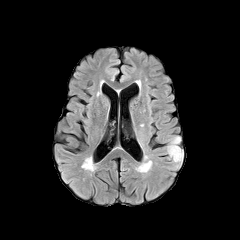
FLAIR MR.
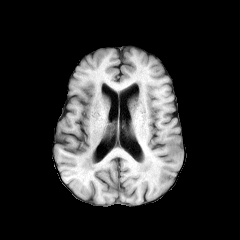
T1-weighted MR.
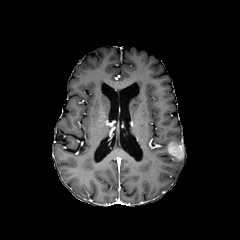
Post-contrast T1-weighted MR of the same slice.
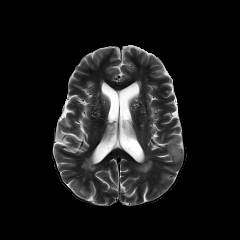
T2-weighted magnetic resonance.
Head; Axial plane
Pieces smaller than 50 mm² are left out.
The 2 largest peritumoral edema regions are bounded by [x1=169, y1=136, x2=183, y2=148], [x1=169, y1=154, x2=182, y2=162]. The enhancing tumor is bounded by [x1=168, y1=141, x2=183, y2=159].